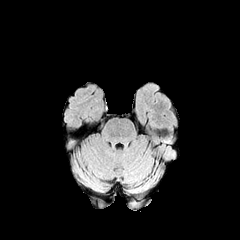
FLAIR MRI.
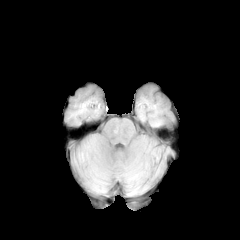
T1-weighted MRI of the same slice.
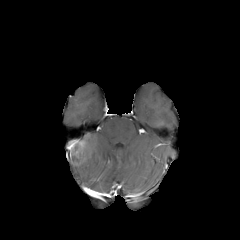
Post-contrast T1-weighted magnetic resonance.
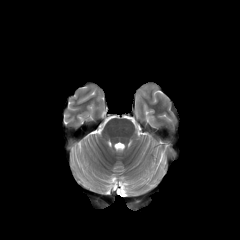
T2-weighted MR of the same slice.
Axial plane
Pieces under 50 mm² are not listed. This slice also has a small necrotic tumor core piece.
enhancing tumor: [70, 141, 85, 156]